FLAIR MRI.
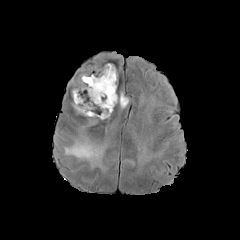
T1-weighted magnetic resonance.
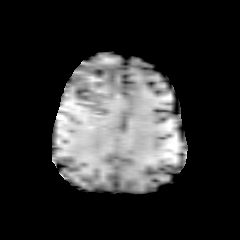
Post-contrast T1-weighted MRI.
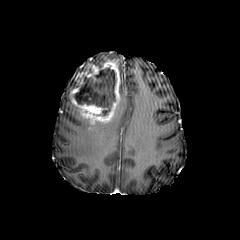
T2-weighted MRI.
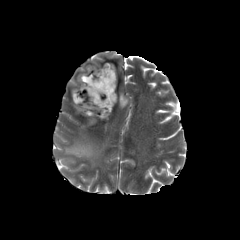
Axial view.
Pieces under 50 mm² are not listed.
The enhancing tumor is at 71:62:120:124. The 2 largest peritumoral edema regions are located at 119:93:129:108, 63:137:103:166. The largest necrotic tumor core region appears at 74:67:116:115.